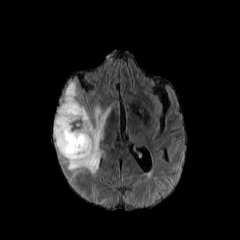
FLAIR magnetic resonance.
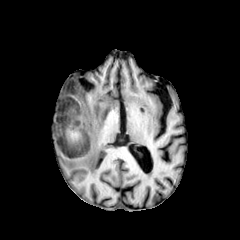
T1-weighted MR of the same slice.
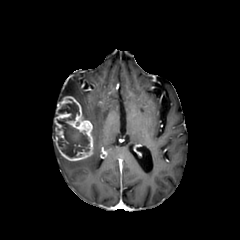
Same slice, post-contrast T1-weighted MR image.
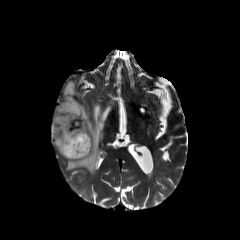
Same slice, T2-weighted MR image.
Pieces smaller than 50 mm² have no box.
Segmented structures:
- enhancing tumor: {"x1": 54, "y1": 96, "x2": 93, "y2": 160}
- necrotic tumor core: {"x1": 57, "y1": 102, "x2": 89, "y2": 157}
- peritumoral edema: {"x1": 64, "y1": 104, "x2": 110, "y2": 174}, {"x1": 64, "y1": 81, "x2": 81, "y2": 99}